Image width 240 mm, 1.00 mm slice spacing. Head. Slice 46/155.
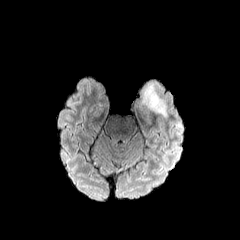
FLAIR MR image.
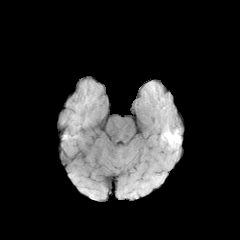
Same slice, T1-weighted MRI.
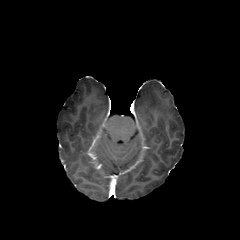
Post-contrast T1-weighted magnetic resonance.
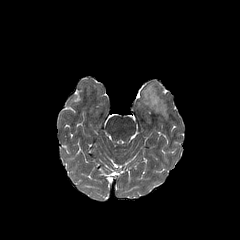
T2-weighted magnetic resonance.
<segmentation>
  <peritumoral_edema>143:85:168:117</peritumoral_edema>
</segmentation>